Slice index 94
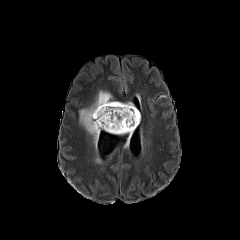
FLAIR MR image.
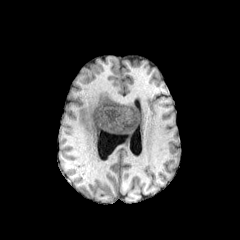
T1-weighted MR image.
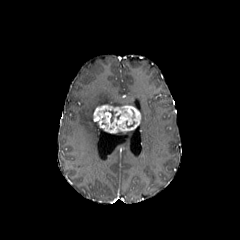
Post-contrast T1-weighted MR image.
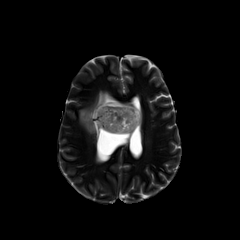
T2-weighted magnetic resonance of the same slice.
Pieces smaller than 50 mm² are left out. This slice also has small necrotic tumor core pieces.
{
  "enhancing_tumor": [
    "box=[93, 104, 140, 133]"
  ],
  "peritumoral_edema": [
    "box=[79, 91, 133, 147]"
  ]
}